FLAIR magnetic resonance.
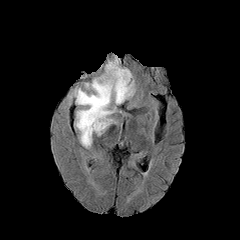
T1-weighted magnetic resonance.
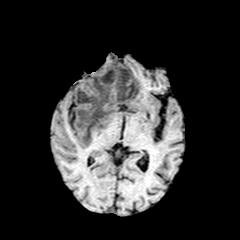
Post-contrast T1-weighted MRI.
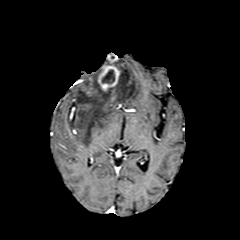
T2-weighted MR.
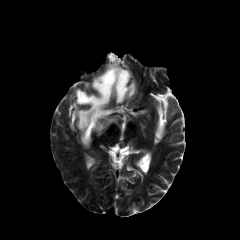
240x240
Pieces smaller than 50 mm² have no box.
enhancing tumor: 97 54 120 92 | peritumoral edema: 75 59 135 147 | necrotic tumor core: 102 70 114 83